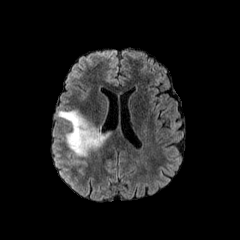
FLAIR magnetic resonance.
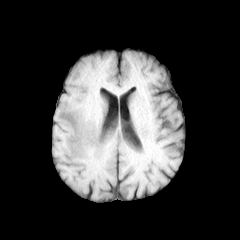
T1-weighted MRI of the same slice.
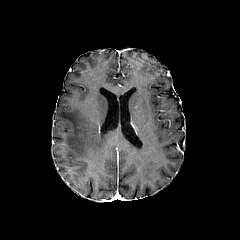
Post-contrast T1-weighted MR image.
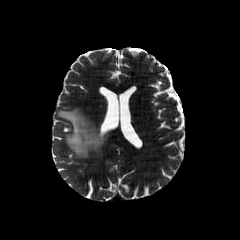
T2-weighted MR.
Axial slice.
Segmented structures:
* peritumoral edema: 58,110,107,157